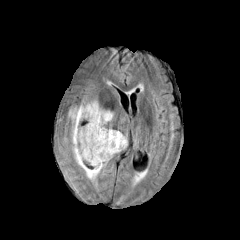
FLAIR MRI.
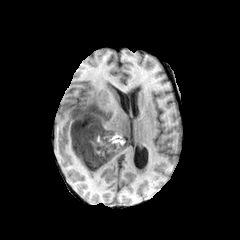
T1-weighted MR.
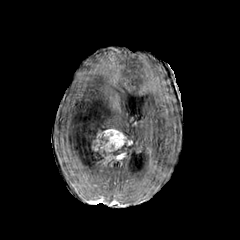
Post-contrast T1-weighted MRI.
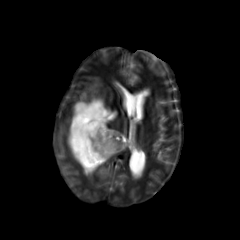
Same slice, T2-weighted magnetic resonance.
Brain
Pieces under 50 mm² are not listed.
{
  "peritumoral_edema": [
    "left=68, top=98, right=114, bottom=179"
  ],
  "enhancing_tumor": [
    "left=91, top=129, right=127, bottom=164"
  ],
  "necrotic_tumor_core": [
    "left=87, top=136, right=103, bottom=163"
  ]
}